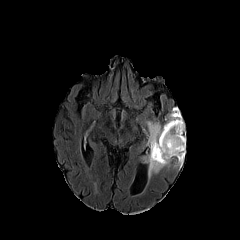
FLAIR MR image.
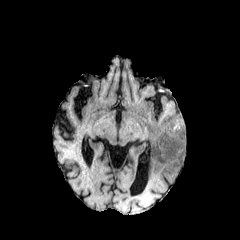
Same slice, T1-weighted MR image.
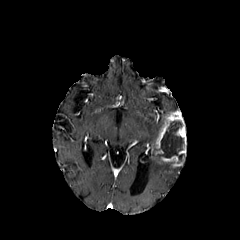
Same slice, post-contrast T1-weighted MR.
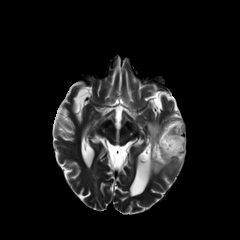
T2-weighted MR image.
Axial slice
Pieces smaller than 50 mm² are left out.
enhancing tumor at x1=151, y1=109, x2=186, y2=167
necrotic tumor core at x1=156, y1=121, x2=183, y2=160
peritumoral edema at x1=148, y1=152, x2=171, y2=179; x1=146, y1=121, x2=161, y2=150